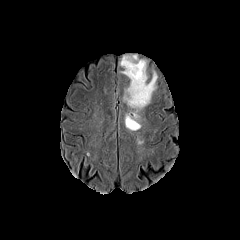
FLAIR magnetic resonance.
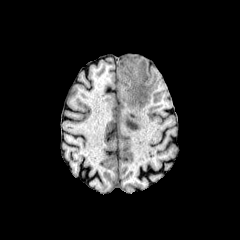
T1-weighted MR.
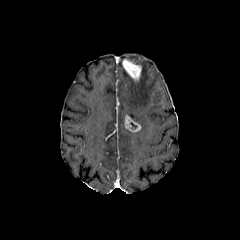
Post-contrast T1-weighted MR image.
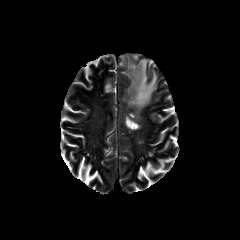
Same slice, T2-weighted MRI.
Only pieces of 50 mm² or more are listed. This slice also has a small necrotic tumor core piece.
The largest peritumoral edema region is located at x1=121 y1=55 x2=157 y2=124. 2 enhancing tumor regions are bounded by x1=124 y1=115 x2=140 y2=131, x1=122 y1=56 x2=141 y2=81.